FLAIR MR.
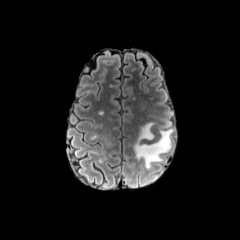
T1-weighted magnetic resonance.
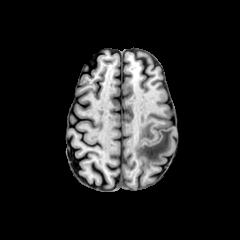
Post-contrast T1-weighted MR image.
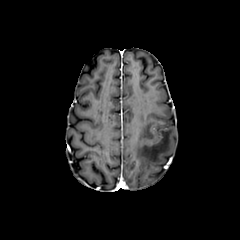
T2-weighted MR image.
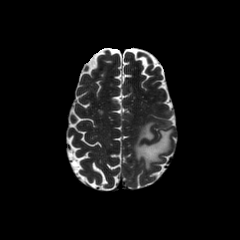
Axial slice
The peritumoral edema appears at <bbox>133, 120, 174, 168</bbox>.